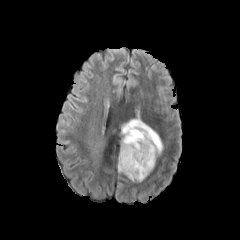
FLAIR MR image.
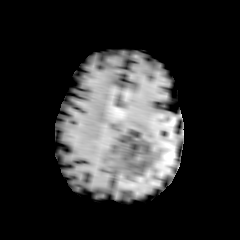
T1-weighted magnetic resonance.
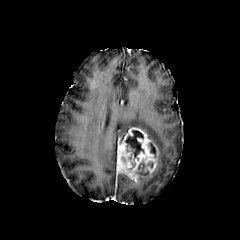
Post-contrast T1-weighted MR image.
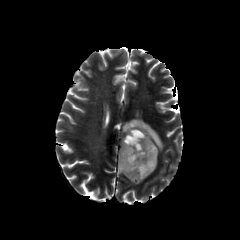
T2-weighted magnetic resonance of the same slice.
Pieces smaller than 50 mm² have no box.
• peritumoral edema: <box>121,114,163,154</box>
• necrotic tumor core: <box>125,130,143,157</box>, <box>137,163,148,175</box>
• enhancing tumor: <box>116,127,159,182</box>